Brain, Image width 240 mm, 1.00 mm slice spacing
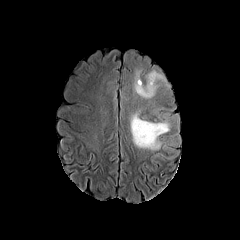
FLAIR magnetic resonance.
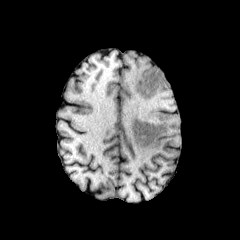
T1-weighted MR image.
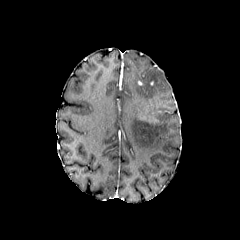
Post-contrast T1-weighted MRI.
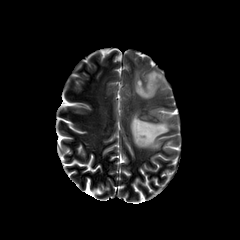
T2-weighted MR image of the same slice.
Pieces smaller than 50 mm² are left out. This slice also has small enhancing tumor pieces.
2 peritumoral edema regions appear at [133, 70, 165, 98], [130, 111, 169, 150].